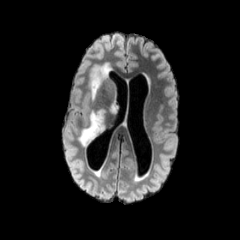
FLAIR magnetic resonance.
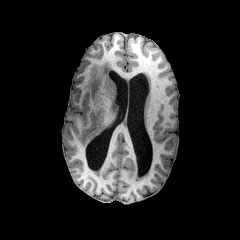
T1-weighted magnetic resonance of the same slice.
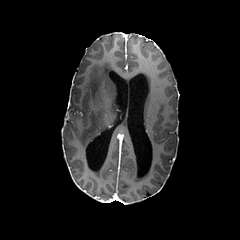
Post-contrast T1-weighted MR image.
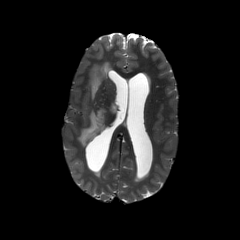
Same slice, T2-weighted MR.
Axial slice
3 peritumoral edema regions appear at box=[78, 109, 105, 146]; box=[110, 102, 117, 112]; box=[89, 62, 111, 100].